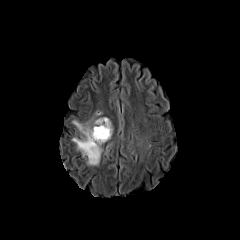
FLAIR MR.
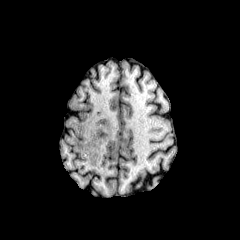
Same slice, T1-weighted magnetic resonance.
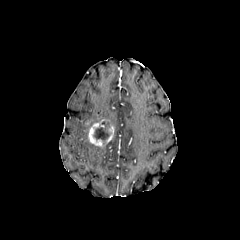
Same slice, post-contrast T1-weighted magnetic resonance.
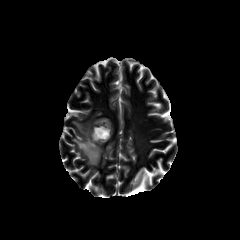
T2-weighted MR.
Axial plane, Image size 240x240, Brain
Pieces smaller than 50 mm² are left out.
enhancing tumor at region(88, 119, 109, 146); region(105, 123, 114, 143)
necrotic tumor core at region(94, 121, 109, 143)
peritumoral edema at region(72, 111, 111, 165)